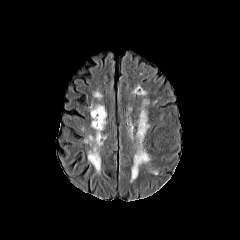
FLAIR magnetic resonance.
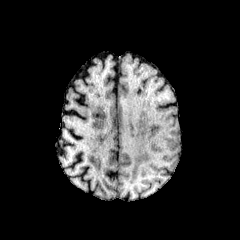
T1-weighted magnetic resonance.
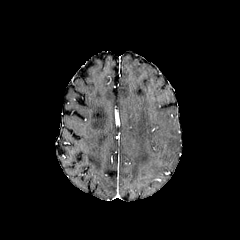
Same slice, post-contrast T1-weighted magnetic resonance.
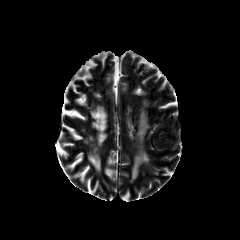
T2-weighted magnetic resonance of the same slice.
Head
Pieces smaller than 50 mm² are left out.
{"peritumoral_edema": ["rect(131, 109, 150, 181)"]}